Image size 240x240. Brain. Slice 91 of 155. Axial view.
FLAIR magnetic resonance.
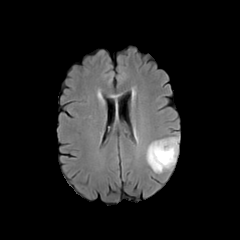
T1-weighted MRI.
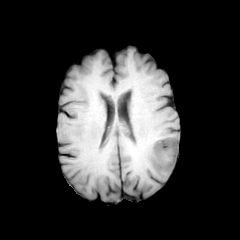
Post-contrast T1-weighted MR image.
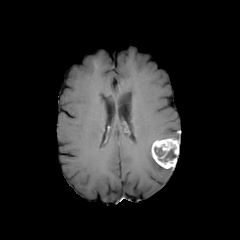
T2-weighted magnetic resonance.
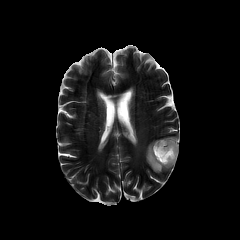
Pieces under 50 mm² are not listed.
The largest peritumoral edema region appears at box=[146, 141, 171, 173]. The enhancing tumor is at box=[151, 138, 179, 168]. 2 necrotic tumor core regions appear at box=[154, 147, 164, 157]; box=[159, 149, 176, 161].